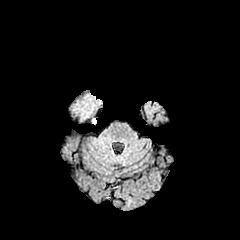
FLAIR MR image.
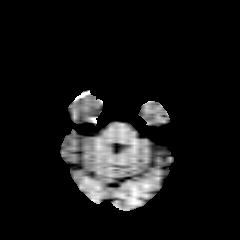
T1-weighted magnetic resonance.
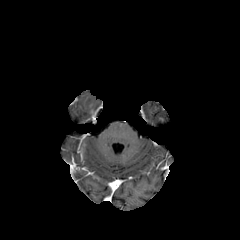
Post-contrast T1-weighted MR.
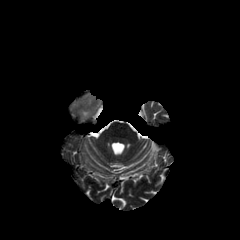
T2-weighted MR of the same slice.
Head, 240x240 px, Axial slice
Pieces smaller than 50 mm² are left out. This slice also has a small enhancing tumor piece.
Findings:
* peritumoral edema: box=[81, 109, 89, 118]